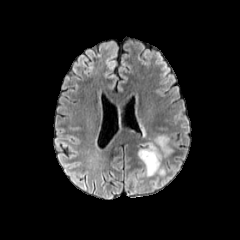
FLAIR MRI.
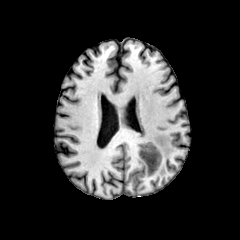
T1-weighted MR of the same slice.
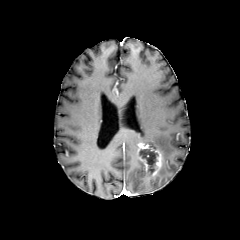
Same slice, post-contrast T1-weighted MR image.
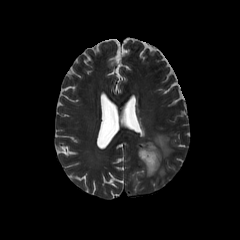
T2-weighted MRI.
Axial view
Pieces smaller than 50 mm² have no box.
necrotic tumor core: (left=141, top=149, right=157, bottom=172)
enhancing tumor: (left=138, top=143, right=162, bottom=176)
peritumoral edema: (left=145, top=135, right=172, bottom=157)